Axial plane
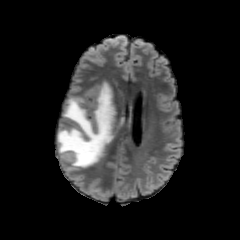
FLAIR magnetic resonance.
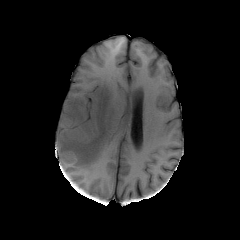
T1-weighted MR.
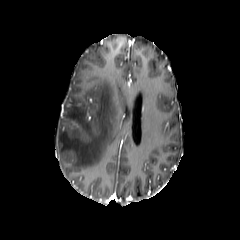
Same slice, post-contrast T1-weighted magnetic resonance.
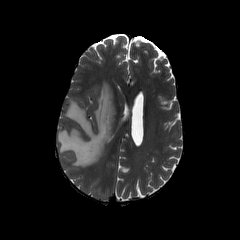
Same slice, T2-weighted MR.
The peritumoral edema is at left=57, top=82, right=118, bottom=167.